Axial view
FLAIR MR.
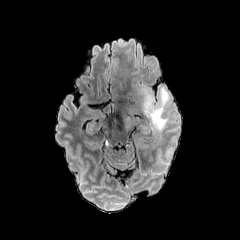
T1-weighted MR.
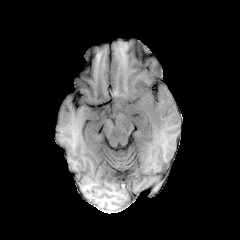
Post-contrast T1-weighted MR image.
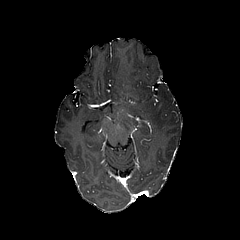
T2-weighted magnetic resonance.
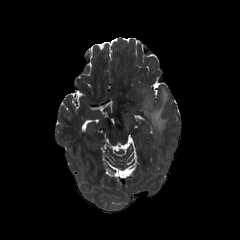
peritumoral edema: bounding box 143 87 169 131, 122 113 131 128